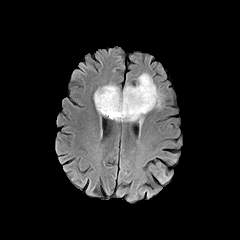
FLAIR MR image.
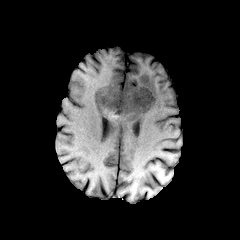
T1-weighted MR.
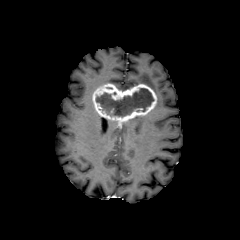
Post-contrast T1-weighted MR of the same slice.
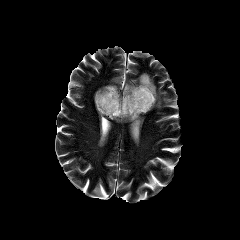
T2-weighted magnetic resonance.
Axial plane; 240x240
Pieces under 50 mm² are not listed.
Segmented structures:
* necrotic tumor core: bbox=[96, 88, 153, 116]
* peritumoral edema: bbox=[128, 116, 143, 127]; bbox=[137, 73, 162, 108]
* enhancing tumor: bbox=[93, 83, 157, 122]